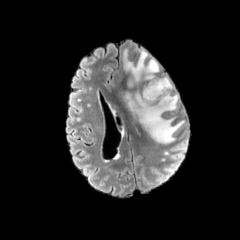
FLAIR magnetic resonance.
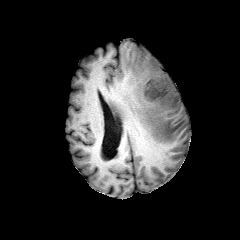
T1-weighted MR of the same slice.
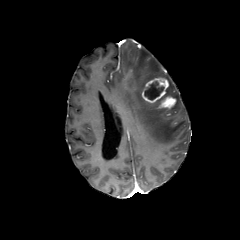
Same slice, post-contrast T1-weighted MR.
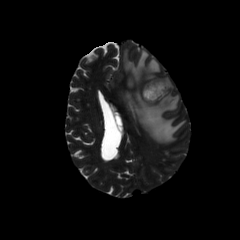
T2-weighted MR image.
enhancing tumor at 142, 77, 176, 108
necrotic tumor core at 144, 81, 164, 100
peritumoral edema at 121, 49, 184, 143